FLAIR magnetic resonance.
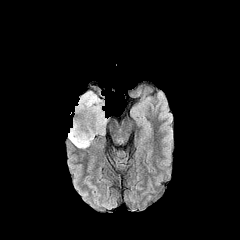
T1-weighted MRI.
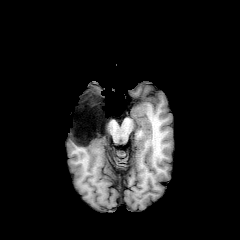
Post-contrast T1-weighted MR.
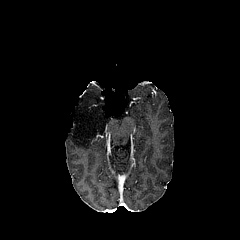
T2-weighted MRI.
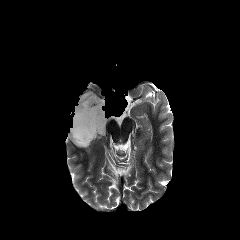
Image size 240x240 | Brain | Axial view
The peritumoral edema is bounded by <box>68,91,107,148</box>.